Slice 121/155
FLAIR magnetic resonance.
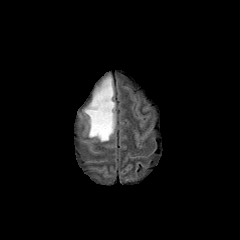
T1-weighted MR image.
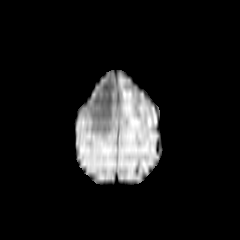
Post-contrast T1-weighted magnetic resonance.
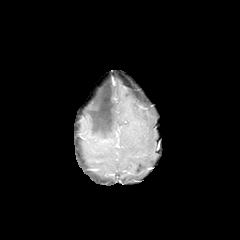
T2-weighted MRI.
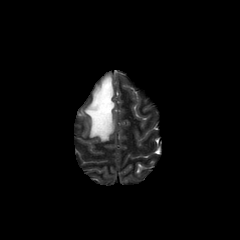
peritumoral edema: (84,75,116,141)